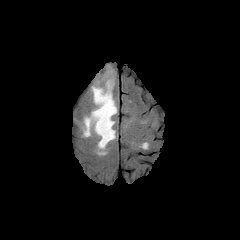
FLAIR MR image.
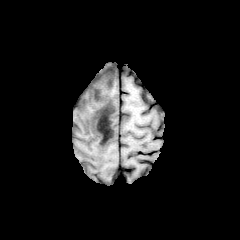
Same slice, T1-weighted MR.
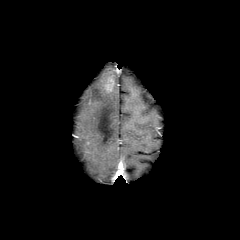
Post-contrast T1-weighted MR.
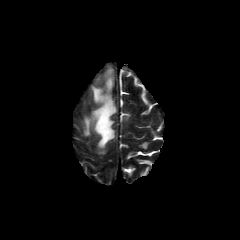
Same slice, T2-weighted MR image.
Axial view. Brain.
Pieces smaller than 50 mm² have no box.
Annotated regions:
- enhancing tumor: 104, 69, 113, 91
- peritumoral edema: 83, 66, 117, 154